FLAIR MRI.
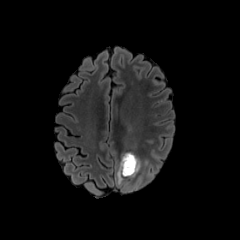
T1-weighted MRI.
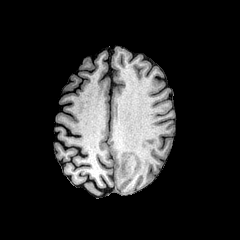
Post-contrast T1-weighted magnetic resonance.
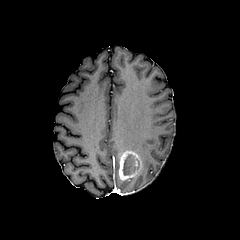
T2-weighted MR.
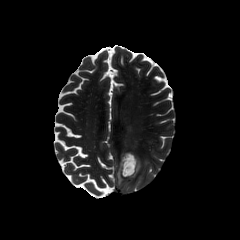
Axial plane, Head
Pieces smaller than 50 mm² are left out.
necrotic tumor core — [x1=122, y1=155, x2=134, y2=175]
peritumoral edema — [x1=116, y1=162, x2=126, y2=185]
enhancing tumor — [x1=118, y1=151, x2=141, y2=180]